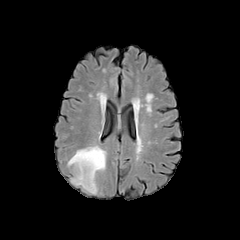
FLAIR MR.
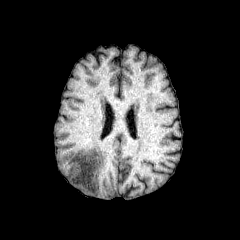
Same slice, T1-weighted MR image.
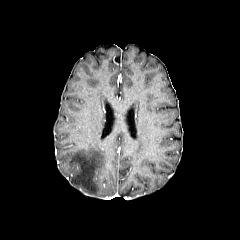
Same slice, post-contrast T1-weighted MR image.
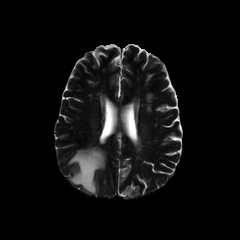
T2-weighted MR of the same slice.
Head. Axial view.
The peritumoral edema is bounded by x1=68, y1=146, x2=105, y2=194.